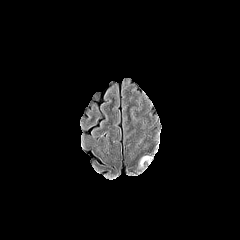
FLAIR magnetic resonance.
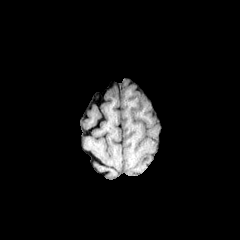
T1-weighted MR.
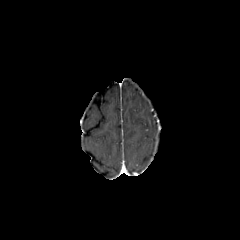
Same slice, post-contrast T1-weighted magnetic resonance.
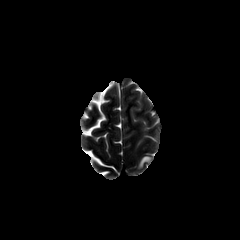
Same slice, T2-weighted magnetic resonance.
Axial slice
The peritumoral edema is at 140, 156, 149, 166.